Slice index 96. Brain. Image width 240 mm.
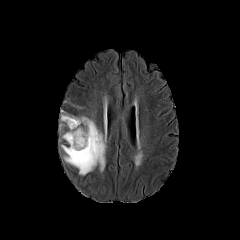
FLAIR magnetic resonance.
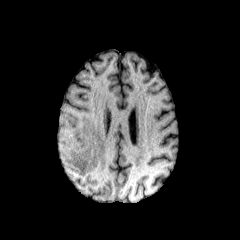
Same slice, T1-weighted MR image.
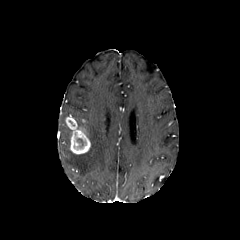
Post-contrast T1-weighted MR.
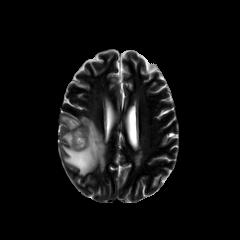
Same slice, T2-weighted MRI.
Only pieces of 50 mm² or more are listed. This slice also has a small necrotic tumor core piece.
<segmentation>
  <peritumoral_edema>61,116,106,175; 61,114,69,125; 62,129,71,144</peritumoral_edema>
  <enhancing_tumor>65,115,90,154</enhancing_tumor>
</segmentation>